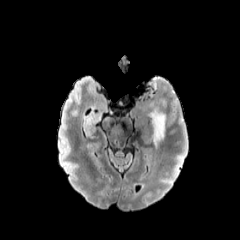
FLAIR magnetic resonance.
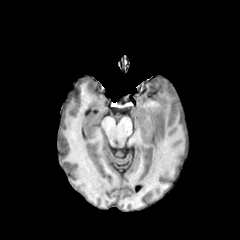
T1-weighted MR of the same slice.
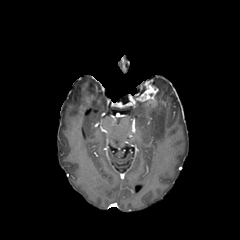
Same slice, post-contrast T1-weighted MRI.
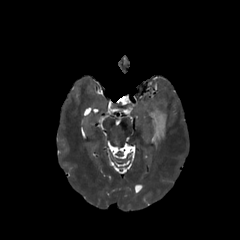
T2-weighted MR image of the same slice.
Axial view
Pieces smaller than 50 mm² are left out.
peritumoral edema: bounding box 149 93 166 144
enhancing tumor: bounding box 139 85 157 102